Image width 240 mm
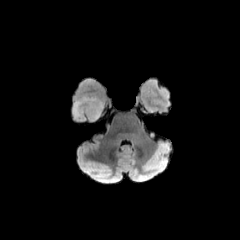
FLAIR magnetic resonance.
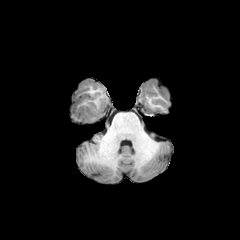
Same slice, T1-weighted MR.
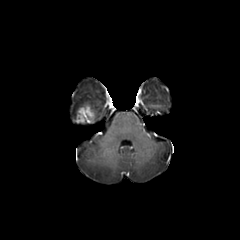
Post-contrast T1-weighted MR.
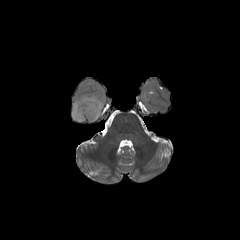
T2-weighted MR.
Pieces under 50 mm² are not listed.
enhancing tumor = region(76, 104, 95, 122)
peritumoral edema = region(72, 95, 103, 119)